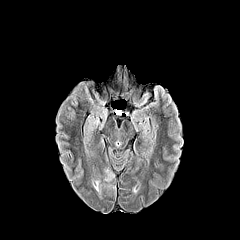
FLAIR MRI.
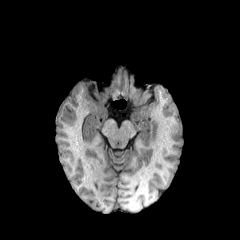
T1-weighted MRI.
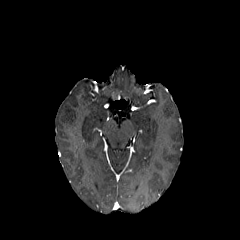
Post-contrast T1-weighted MR image of the same slice.
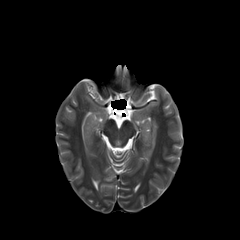
Same slice, T2-weighted MRI.
Axial slice
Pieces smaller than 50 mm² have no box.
Findings:
* peritumoral edema: left=92, top=179, right=100, bottom=192; left=104, top=173, right=114, bottom=181